Image covers 240 mm x 240 mm | Image size 240x240
FLAIR MR.
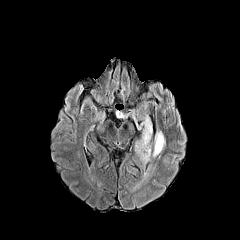
T1-weighted MR.
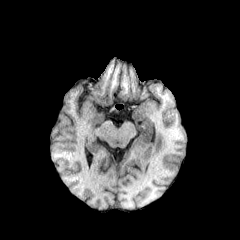
Post-contrast T1-weighted MRI.
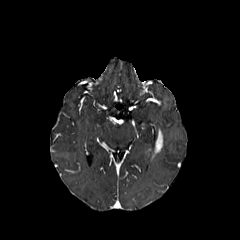
T2-weighted MRI.
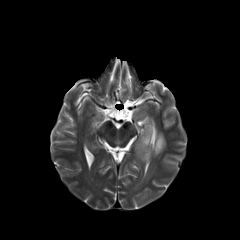
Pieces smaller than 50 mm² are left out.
The largest peritumoral edema region lies within x1=135, y1=116, x2=152, y2=162. The enhancing tumor is located at x1=153, y1=129, x2=162, y2=156.